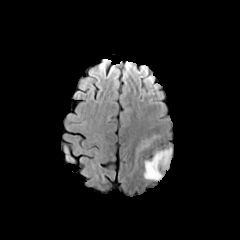
FLAIR MRI.
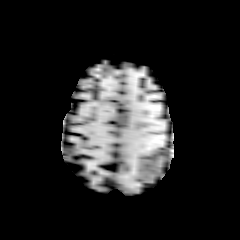
T1-weighted MR of the same slice.
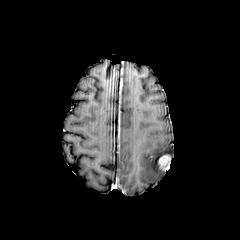
Post-contrast T1-weighted MR image of the same slice.
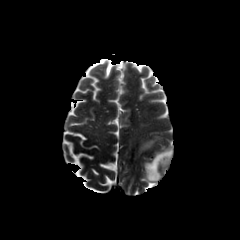
T2-weighted magnetic resonance.
Head | Image size 240x240
{"enhancing_tumor": ["rect(159, 155, 170, 168)"], "peritumoral_edema": ["rect(137, 140, 150, 151)", "rect(144, 148, 172, 180)"]}